Axial view; Head
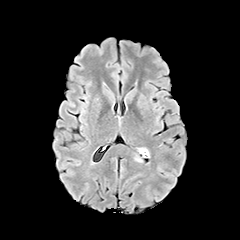
FLAIR MRI.
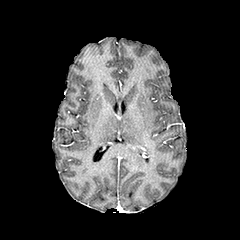
T1-weighted MRI of the same slice.
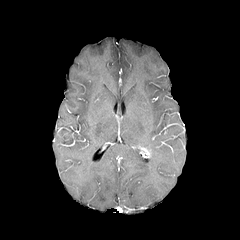
Post-contrast T1-weighted magnetic resonance of the same slice.
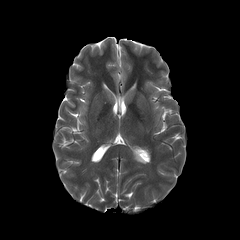
Same slice, T2-weighted MRI.
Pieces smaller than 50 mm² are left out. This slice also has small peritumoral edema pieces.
enhancing tumor — [140,148,149,157]